Brain | Axial slice
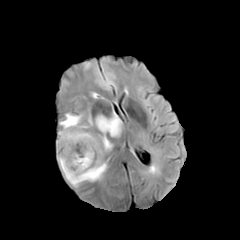
FLAIR magnetic resonance.
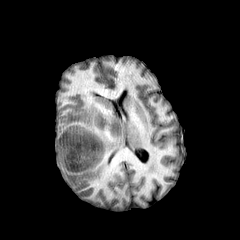
T1-weighted MR image of the same slice.
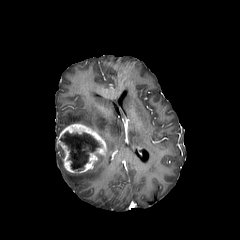
Post-contrast T1-weighted MRI.
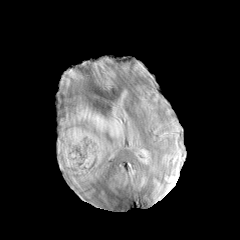
T2-weighted MR image.
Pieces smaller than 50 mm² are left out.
necrotic tumor core: 60,132,99,169
peritumoral edema: 59,109,123,151; 57,153,107,186
enhancing tumor: 56,123,106,173